FLAIR MRI.
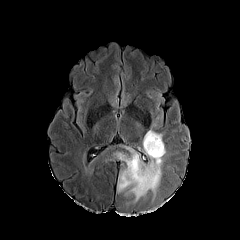
T1-weighted MRI.
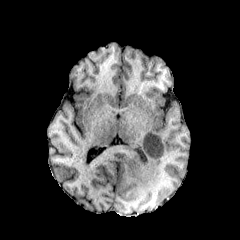
Post-contrast T1-weighted MRI.
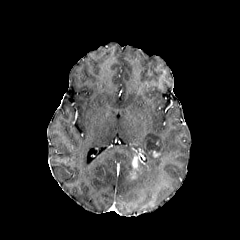
T2-weighted MR.
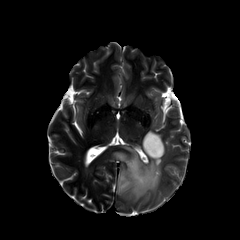
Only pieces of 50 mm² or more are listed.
The peritumoral edema is located at (left=114, top=130, right=165, bottom=201). The largest necrotic tumor core region is at (left=146, top=137, right=161, bottom=152). The largest enhancing tumor region is bounded by (left=129, top=155, right=142, bottom=179).